240x240 px. Slice index 49.
FLAIR magnetic resonance.
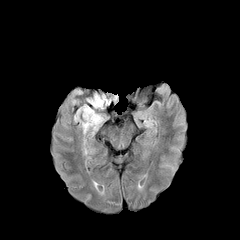
T1-weighted magnetic resonance.
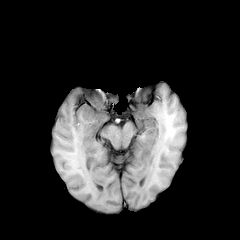
Post-contrast T1-weighted magnetic resonance.
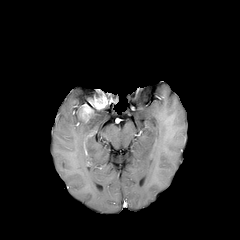
T2-weighted MR image.
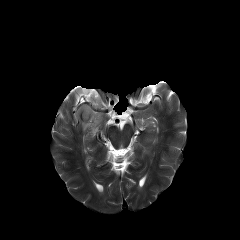
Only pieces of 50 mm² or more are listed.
• peritumoral edema: region(82, 112, 103, 133)
• enhancing tumor: region(80, 92, 117, 121)